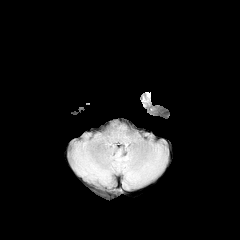
FLAIR MR.
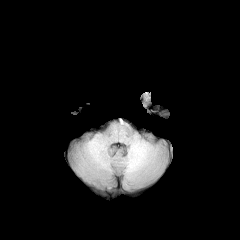
T1-weighted MRI of the same slice.
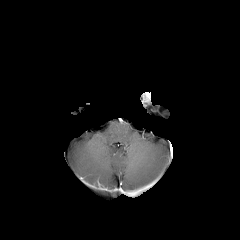
Post-contrast T1-weighted MR.
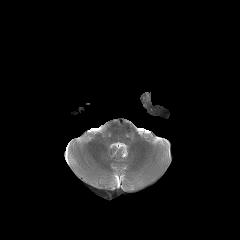
T2-weighted MR.
240x240 px, Axial slice, Brain
<segmentation>
  <peritumoral_edema>x1=143, y1=92, x2=150, y2=101</peritumoral_edema>
</segmentation>